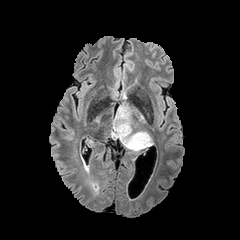
FLAIR magnetic resonance.
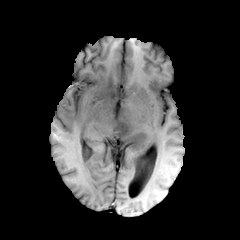
T1-weighted MR image.
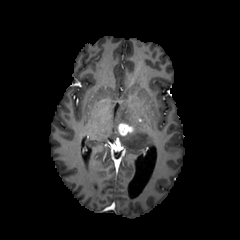
Same slice, post-contrast T1-weighted MRI.
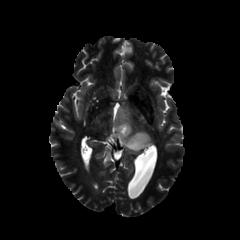
T2-weighted MR.
Axial view
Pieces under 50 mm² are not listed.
peritumoral edema: 113,104,150,149 | enhancing tumor: 118,123,133,135